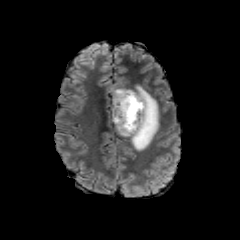
FLAIR MRI.
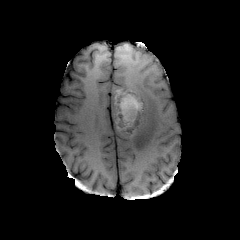
Same slice, T1-weighted MR.
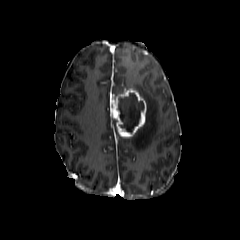
Post-contrast T1-weighted magnetic resonance.
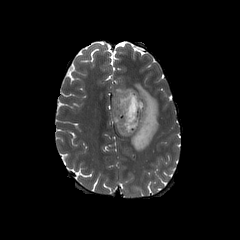
Same slice, T2-weighted magnetic resonance.
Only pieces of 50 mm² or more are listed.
The necrotic tumor core appears at bbox=[118, 93, 144, 132]. The 2 largest peritumoral edema regions are located at bbox=[130, 84, 159, 150]; bbox=[112, 88, 125, 95]. The enhancing tumor is at bbox=[110, 89, 146, 137].